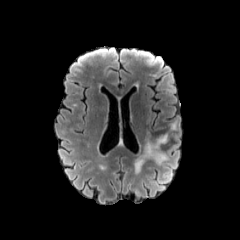
FLAIR MRI.
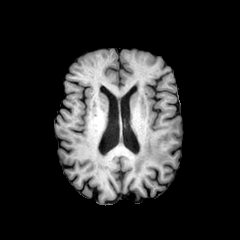
T1-weighted MR image.
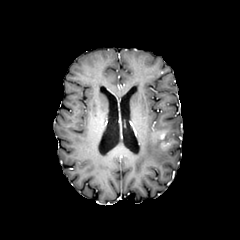
Post-contrast T1-weighted MR image.
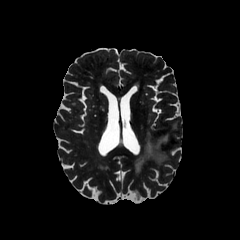
T2-weighted MR of the same slice.
Axial view. Head. 240x240 px.
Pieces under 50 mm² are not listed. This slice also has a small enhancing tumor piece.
peritumoral edema: 171:121:177:130, 134:133:168:173